FLAIR MR image.
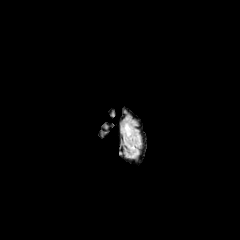
T1-weighted MR image.
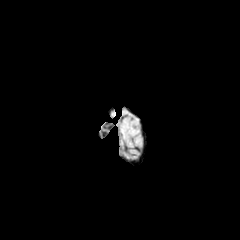
Post-contrast T1-weighted MR.
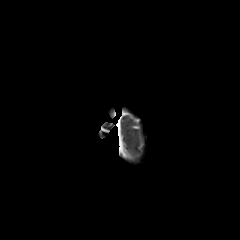
T2-weighted magnetic resonance.
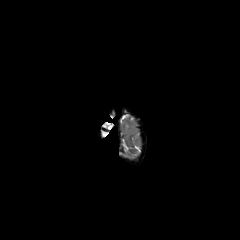
The peritumoral edema is located at left=124, top=123, right=134, bottom=138.